FLAIR MRI.
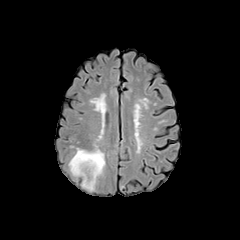
T1-weighted MRI.
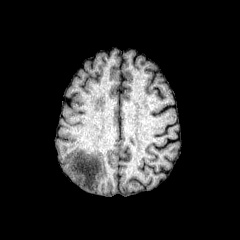
Post-contrast T1-weighted MRI.
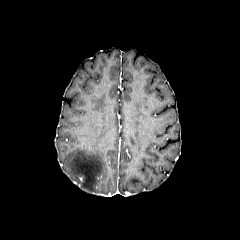
T2-weighted MR image.
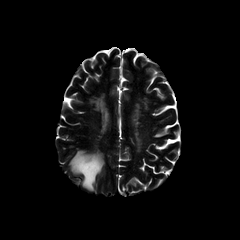
Image size 240x240
peritumoral edema = (68,148,105,191)